FLAIR MR.
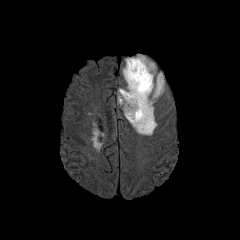
T1-weighted magnetic resonance.
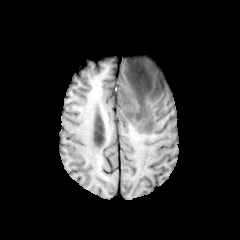
Post-contrast T1-weighted MR.
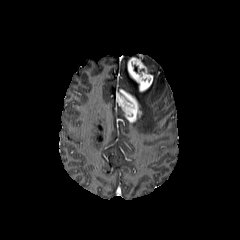
T2-weighted magnetic resonance.
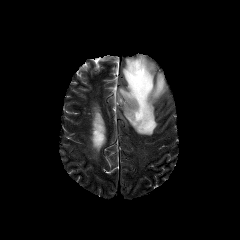
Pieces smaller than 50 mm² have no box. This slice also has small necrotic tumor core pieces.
peritumoral_edema:
  - 142,56,155,75
  - 122,58,165,135
enhancing_tumor:
  - 127,55,153,91
  - 116,89,141,122